Slice index 100. Brain.
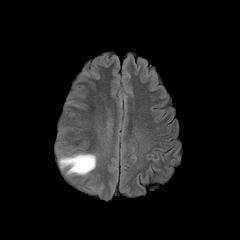
FLAIR MR image.
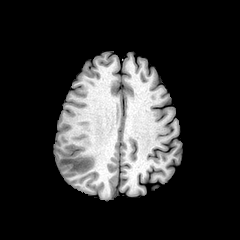
T1-weighted magnetic resonance.
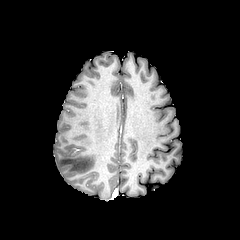
Post-contrast T1-weighted magnetic resonance of the same slice.
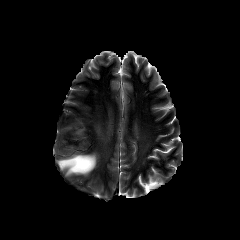
T2-weighted MR of the same slice.
The peritumoral edema appears at region(59, 154, 96, 174).